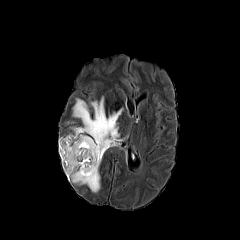
FLAIR MR image.
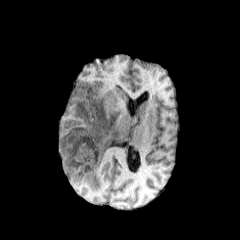
T1-weighted magnetic resonance.
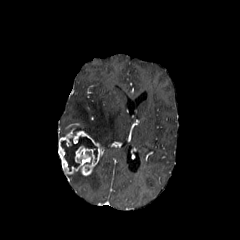
Post-contrast T1-weighted magnetic resonance of the same slice.
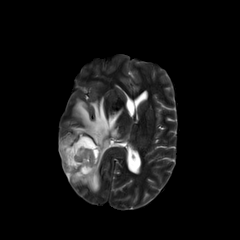
T2-weighted MR of the same slice.
Image size 240x240.
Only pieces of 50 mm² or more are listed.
enhancing tumor — 58 131 104 175
necrotic tumor core — 61 136 97 171
peritumoral edema — 67 157 101 192, 70 97 124 152